FLAIR MRI.
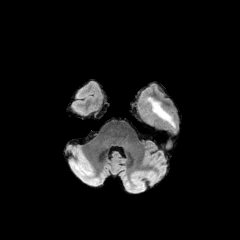
T1-weighted MR.
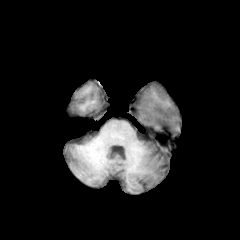
Post-contrast T1-weighted MRI.
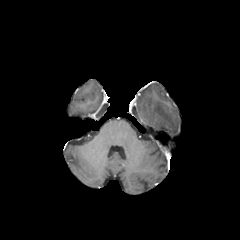
T2-weighted MRI.
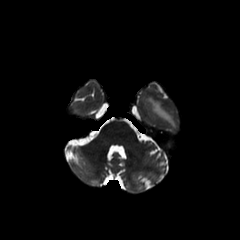
Axial plane, 240x240 px
Segmented structures:
- peritumoral edema: {"x1": 146, "y1": 97, "x2": 176, "y2": 129}